FLAIR magnetic resonance.
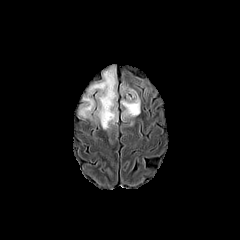
T1-weighted MR.
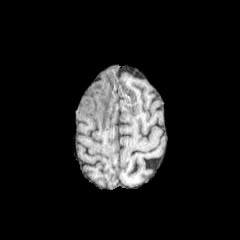
Post-contrast T1-weighted MR.
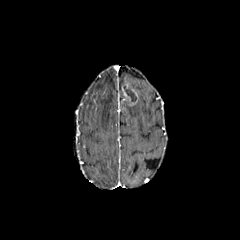
T2-weighted magnetic resonance.
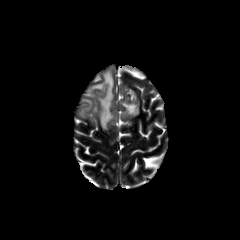
Axial plane | Head
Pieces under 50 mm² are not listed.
The 2 largest peritumoral edema regions are located at (77,68,117,129), (121,95,140,119). The necrotic tumor core lies within (124,86,136,101). The largest enhancing tumor region is at (122,86,137,105).